FLAIR MR.
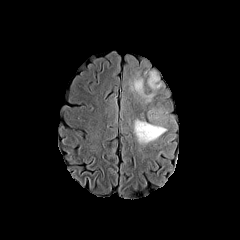
T1-weighted MRI.
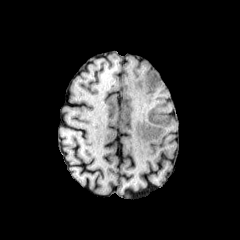
Post-contrast T1-weighted MR.
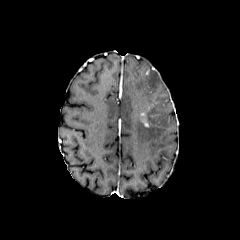
T2-weighted MRI.
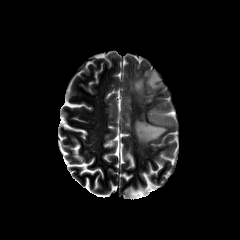
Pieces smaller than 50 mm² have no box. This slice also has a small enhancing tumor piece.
peritumoral edema: rect(134, 119, 166, 143); rect(147, 71, 161, 89); rect(131, 78, 153, 101)